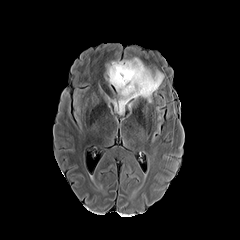
FLAIR MRI.
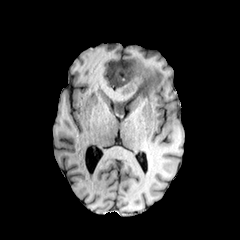
T1-weighted magnetic resonance of the same slice.
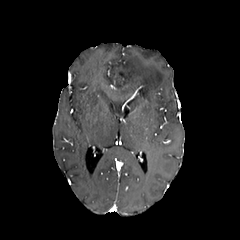
Same slice, post-contrast T1-weighted MRI.
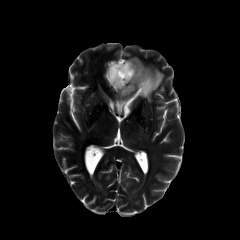
T2-weighted MR image.
240x240
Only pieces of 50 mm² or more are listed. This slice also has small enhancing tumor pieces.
peritumoral edema at (103,55,164,116)
necrotic tumor core at (111,63,124,79)